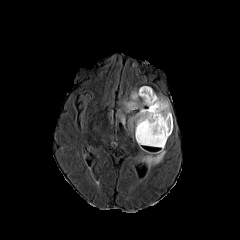
FLAIR MR.
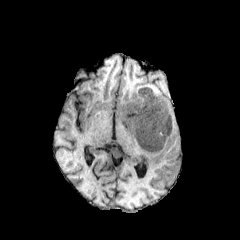
T1-weighted magnetic resonance of the same slice.
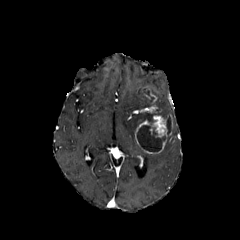
Same slice, post-contrast T1-weighted MR image.
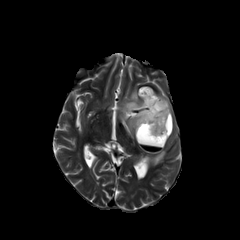
T2-weighted MR image.
Axial view, Brain
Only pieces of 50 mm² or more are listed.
enhancing tumor: bounding box rect(148, 105, 161, 113); rect(142, 87, 157, 103); rect(135, 114, 172, 154)
necrotic tumor core: bounding box rect(166, 117, 171, 134); rect(137, 125, 165, 151)
peritumoral edema: bounding box rect(119, 113, 125, 126); rect(144, 147, 165, 168); rect(123, 86, 171, 133)